240x240 px. Head. Slice 90/155.
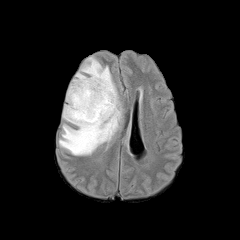
FLAIR magnetic resonance.
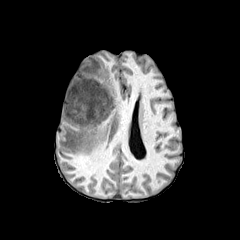
T1-weighted MRI.
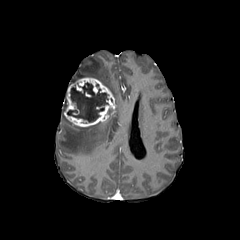
Post-contrast T1-weighted MR image of the same slice.
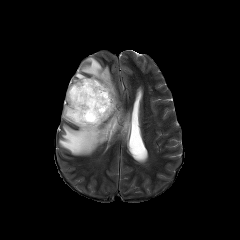
Same slice, T2-weighted MRI.
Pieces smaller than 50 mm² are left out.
Segmented structures:
* peritumoral edema: box(59, 57, 122, 155)
* enhancing tumor: box(64, 77, 115, 126)
* necrotic tumor core: box(67, 82, 108, 122)